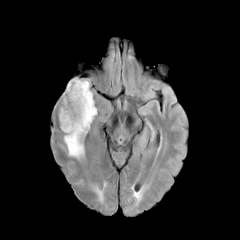
FLAIR MR.
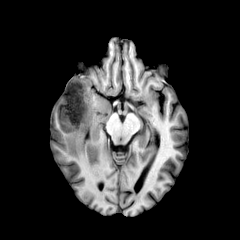
Same slice, T1-weighted MR image.
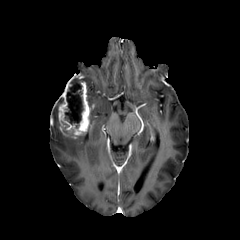
Post-contrast T1-weighted MR.
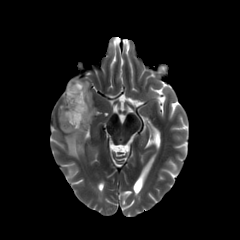
T2-weighted MR image.
Axial view; Head
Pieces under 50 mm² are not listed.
<segmentation>
  <enhancing_tumor><bbox>58, 77, 90, 138</bbox></enhancing_tumor>
  <necrotic_tumor_core><bbox>64, 80, 83, 128</bbox></necrotic_tumor_core>
  <peritumoral_edema><bbox>85, 81, 96, 123</bbox>, <bbox>64, 135, 84, 159</bbox></peritumoral_edema>
</segmentation>